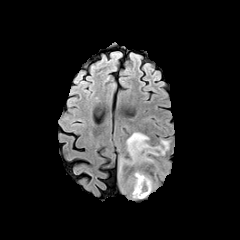
FLAIR MRI.
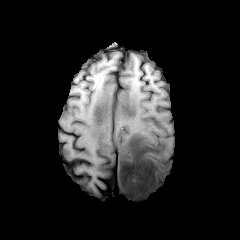
T1-weighted MR.
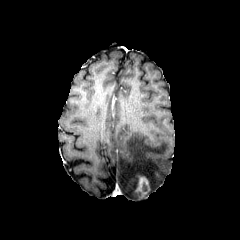
Post-contrast T1-weighted magnetic resonance.
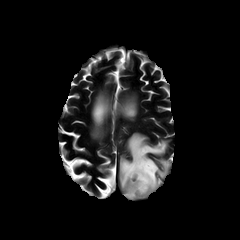
T2-weighted MR image.
Axial slice
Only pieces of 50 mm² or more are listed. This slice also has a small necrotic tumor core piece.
The enhancing tumor is bounded by (x1=135, y1=175, x2=150, y2=197). The peritumoral edema is bounded by (x1=118, y1=132, x2=169, y2=199).